FLAIR magnetic resonance.
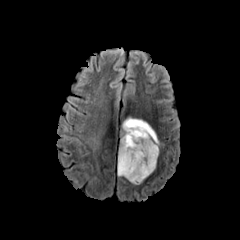
T1-weighted magnetic resonance.
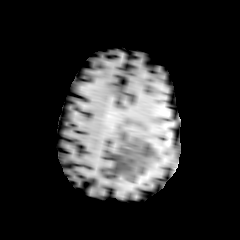
Post-contrast T1-weighted MRI.
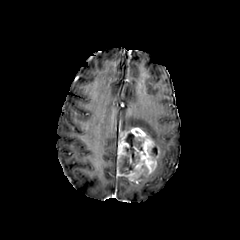
T2-weighted magnetic resonance.
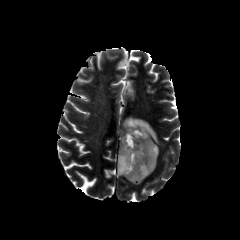
Axial plane, 240x240
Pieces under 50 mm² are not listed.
<segmentation>
  <peritumoral_edema>left=122, top=117, right=160, bottom=146</peritumoral_edema>
  <necrotic_tumor_core>left=120, top=157, right=134, bottom=173; left=125, top=133, right=142, bottom=162</necrotic_tumor_core>
  <enhancing_tumor>left=117, top=127, right=159, bottom=183</enhancing_tumor>
</segmentation>